240x240
FLAIR magnetic resonance.
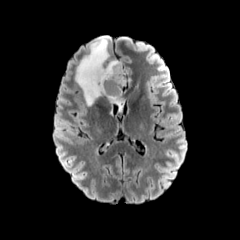
T1-weighted MRI.
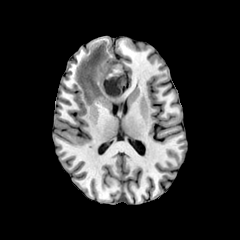
Post-contrast T1-weighted MR image.
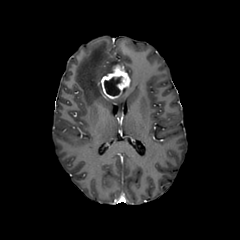
T2-weighted magnetic resonance.
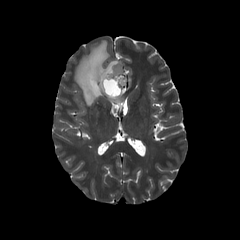
necrotic tumor core: bounding box <bbox>104, 77, 121, 95</bbox>
enhancing tumor: bounding box <bbox>100, 65, 130, 99</bbox>
peritumoral edema: bounding box <bbox>109, 96, 121, 110</bbox>, <bbox>75, 36, 121, 105</bbox>